Slice 120/155. Image width 240 mm. Axial plane.
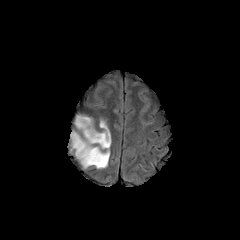
FLAIR MR.
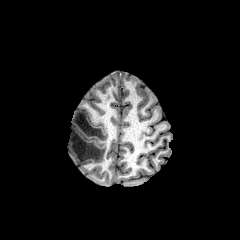
Same slice, T1-weighted MR.
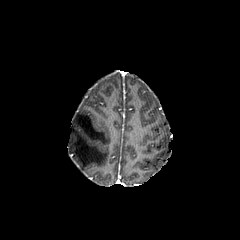
Post-contrast T1-weighted magnetic resonance of the same slice.
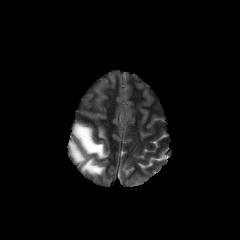
Same slice, T2-weighted magnetic resonance.
<segmentation>
  <peritumoral_edema><bbox>70, 116, 110, 169</bbox></peritumoral_edema>
</segmentation>